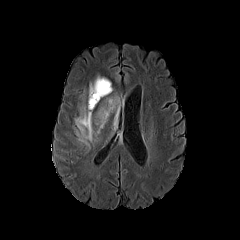
FLAIR MR.
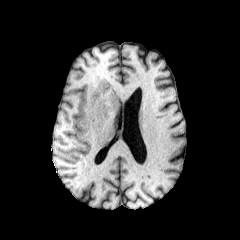
Same slice, T1-weighted MR image.
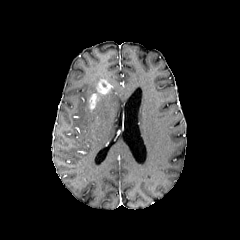
Same slice, post-contrast T1-weighted magnetic resonance.
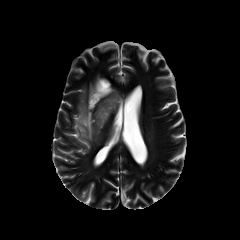
Same slice, T2-weighted magnetic resonance.
Head, Axial plane, 240x240 px
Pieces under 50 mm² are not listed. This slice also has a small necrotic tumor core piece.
peritumoral edema: bounding box [75,76,120,141]
enhancing tumor: bounding box [89,79,112,110]